240x240 | Image width 240 mm, 1.00 mm slice spacing | Head
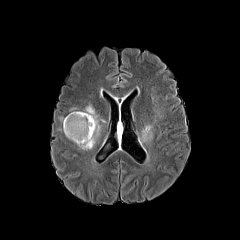
FLAIR magnetic resonance.
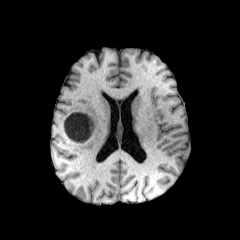
Same slice, T1-weighted MR.
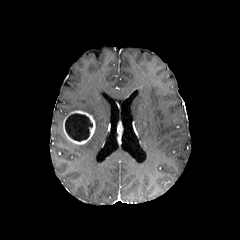
Post-contrast T1-weighted magnetic resonance of the same slice.
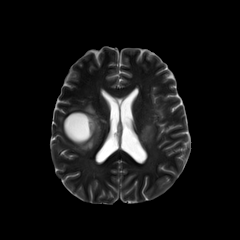
Same slice, T2-weighted MR.
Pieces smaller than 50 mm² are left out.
peritumoral_edema:
  - [78, 105, 100, 150]
  - [140, 124, 152, 144]
necrotic_tumor_core:
  - [65, 113, 92, 141]
enhancing_tumor:
  - [117, 123, 122, 142]
  - [63, 111, 95, 144]